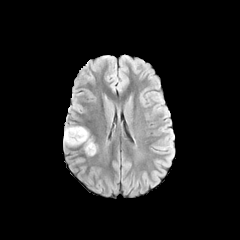
FLAIR MRI.
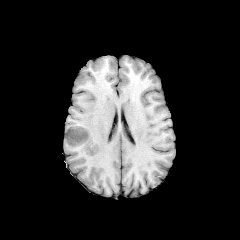
T1-weighted MR of the same slice.
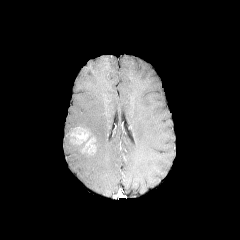
Post-contrast T1-weighted MR image.
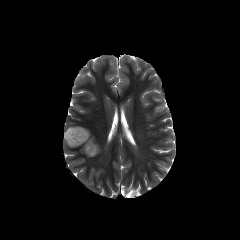
T2-weighted magnetic resonance.
Brain
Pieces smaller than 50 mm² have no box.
peritumoral edema: bounding box <bbox>64, 126, 80, 146</bbox>
enhancing tumor: bounding box <bbox>83, 138, 96, 154</bbox>, <bbox>66, 127, 89, 144</bbox>